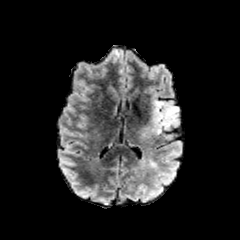
FLAIR MR image.
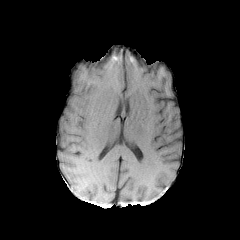
T1-weighted magnetic resonance of the same slice.
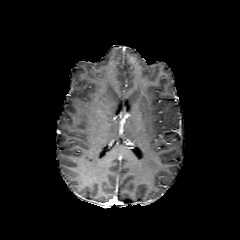
Same slice, post-contrast T1-weighted MR.
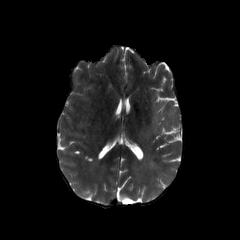
T2-weighted MR.
Image size 240x240
2 peritumoral edema regions are located at [140, 155, 160, 172], [142, 101, 180, 137].